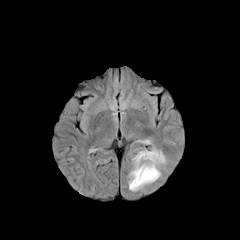
FLAIR MRI.
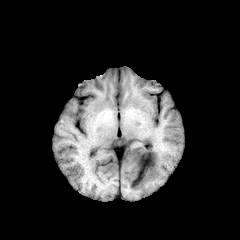
T1-weighted MR.
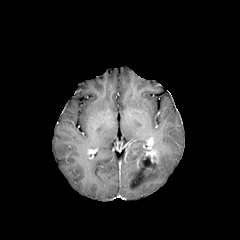
Post-contrast T1-weighted MRI of the same slice.
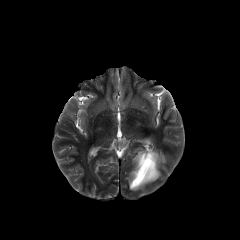
T2-weighted MRI.
Image size 240x240. Axial view.
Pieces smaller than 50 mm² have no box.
enhancing tumor — (x1=137, y1=149, x2=158, y2=168)
necrotic tumor core — (x1=140, y1=155, x2=154, y2=169)
peritumoral edema — (x1=129, y1=147, x2=165, y2=190)